FLAIR MR image.
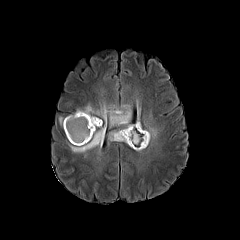
T1-weighted MR.
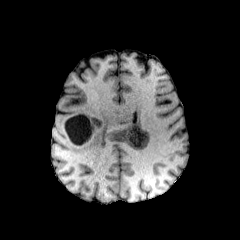
Post-contrast T1-weighted MRI.
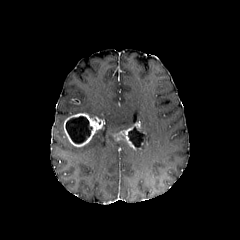
T2-weighted MR.
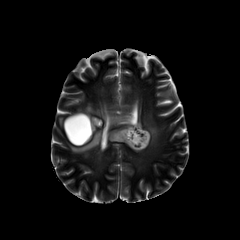
Axial slice.
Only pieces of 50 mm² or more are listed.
necrotic tumor core — (128,127,145,147), (66,116,92,143)
peritumoral edema — (143,123,158,144), (69,104,132,153)
enhancing tumor — (112,121,147,149), (63,113,103,146)